Axial plane; Brain
FLAIR MRI.
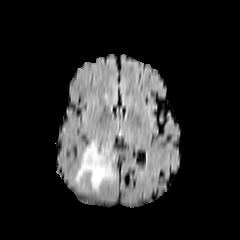
T1-weighted MR.
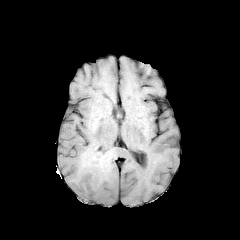
Post-contrast T1-weighted magnetic resonance.
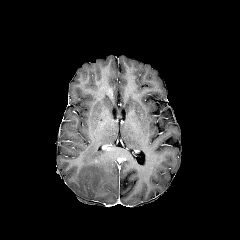
T2-weighted MR image.
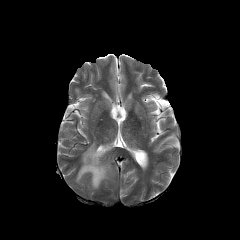
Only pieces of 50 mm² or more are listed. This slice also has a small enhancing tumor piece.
The peritumoral edema appears at 75, 142, 123, 190.